Brain; Slice index 56
FLAIR MR.
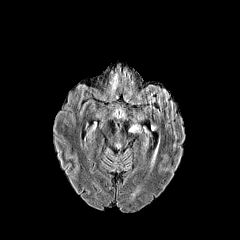
T1-weighted MRI.
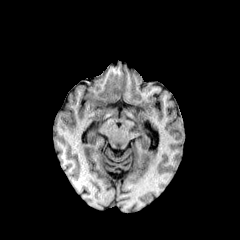
Post-contrast T1-weighted magnetic resonance.
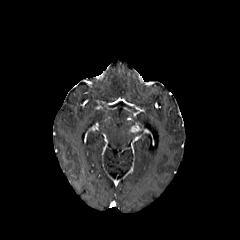
T2-weighted MR.
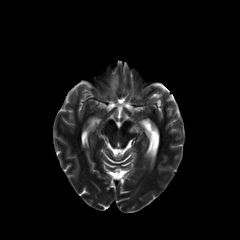
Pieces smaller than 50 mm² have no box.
* enhancing tumor: 129, 124, 141, 132
* peritumoral edema: 110, 73, 118, 95